FLAIR MR image.
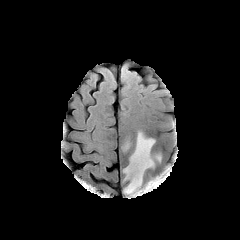
T1-weighted MRI.
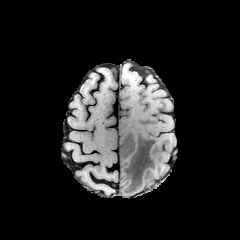
Post-contrast T1-weighted MR.
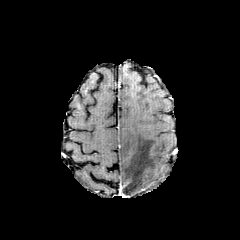
T2-weighted MR.
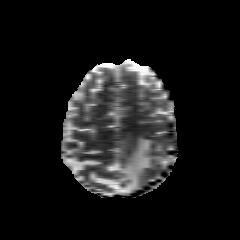
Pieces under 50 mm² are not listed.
peritumoral edema = left=122, top=132, right=161, bottom=194; left=145, top=177, right=160, bottom=191